240x240 px, Image width 240 mm, Axial plane, Slice index 83, Brain
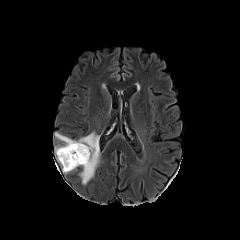
FLAIR MRI.
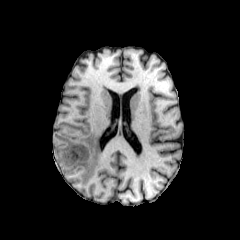
T1-weighted MR.
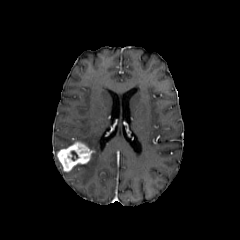
Post-contrast T1-weighted MR.
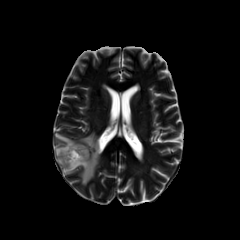
Same slice, T2-weighted magnetic resonance.
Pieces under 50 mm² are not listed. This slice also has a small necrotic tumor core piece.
peritumoral edema: (55,132,100,184)
enhancing tumor: (57,141,94,171)